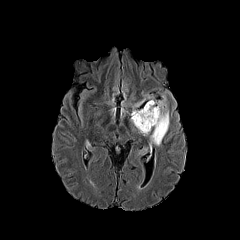
FLAIR magnetic resonance.
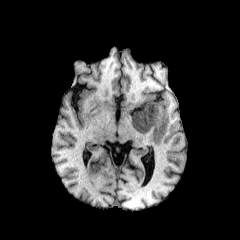
T1-weighted magnetic resonance.
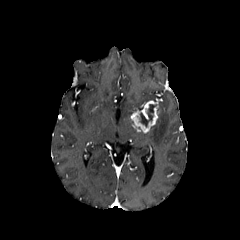
Same slice, post-contrast T1-weighted magnetic resonance.
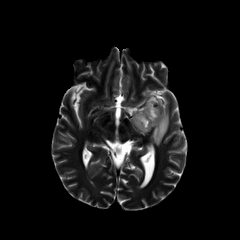
T2-weighted MR.
Head; Axial plane; Image size 240x240
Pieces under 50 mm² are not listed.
necrotic tumor core: bounding box (140,104,156,126)
enhancing tumor: bounding box (132,100,159,133)
peritumoral edema: bounding box (149,96,169,146), (132,94,153,110)